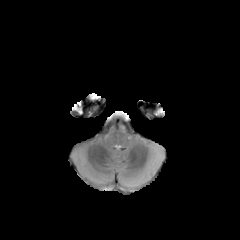
FLAIR magnetic resonance.
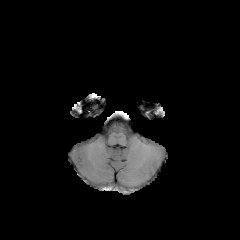
T1-weighted MR of the same slice.
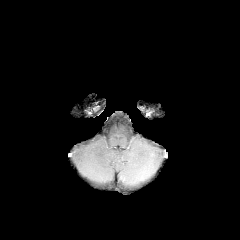
Post-contrast T1-weighted magnetic resonance.
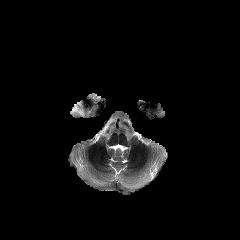
T2-weighted magnetic resonance of the same slice.
Brain; Axial view
The peritumoral edema appears at box(73, 96, 103, 116).